Slice 69/155.
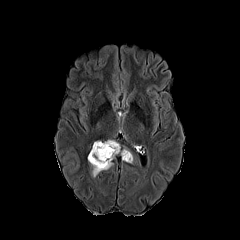
FLAIR MRI.
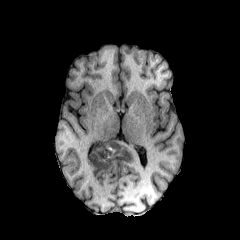
Same slice, T1-weighted MR image.
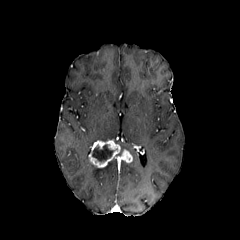
Post-contrast T1-weighted MRI of the same slice.
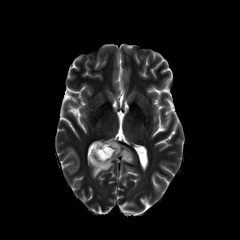
T2-weighted MR image of the same slice.
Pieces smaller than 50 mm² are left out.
enhancing tumor: bounding box 88,140,120,167; 121,149,132,162
peritumoral edema: bounding box 90,162,113,177
necrotic tumor core: bounding box 92,144,114,161